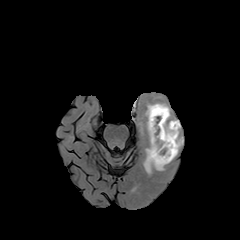
FLAIR magnetic resonance.
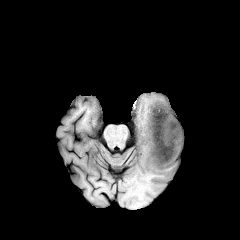
T1-weighted MR.
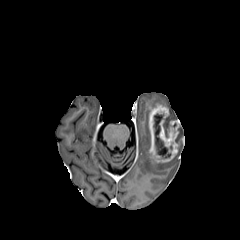
Same slice, post-contrast T1-weighted magnetic resonance.
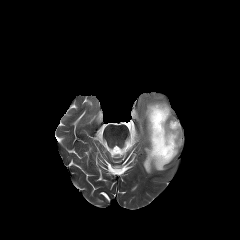
Same slice, T2-weighted MR.
Brain.
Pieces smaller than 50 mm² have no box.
peritumoral edema at x1=178 y1=125 x2=184 y2=152, x1=140 y1=101 x2=175 y2=173
enhancing tumor at x1=148 y1=104 x2=180 y2=163
necrotic tumor core at x1=154 y1=114 x2=170 y2=157